Axial slice; Image size 240x240
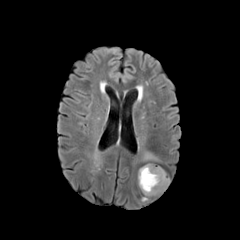
FLAIR magnetic resonance.
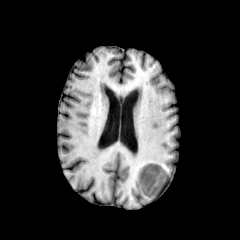
T1-weighted magnetic resonance.
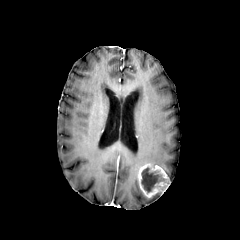
Post-contrast T1-weighted MR of the same slice.
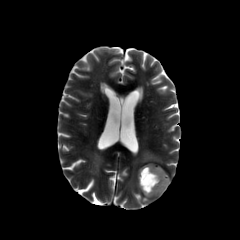
T2-weighted MR image.
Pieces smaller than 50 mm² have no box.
{"peritumoral_edema": ["(143, 152, 160, 161)"], "enhancing_tumor": ["(138, 163, 169, 197)"], "necrotic_tumor_core": ["(141, 168, 164, 192)"]}